Slice index 58. 240x240.
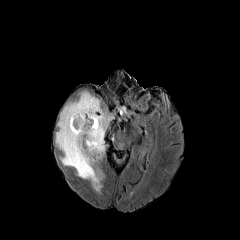
FLAIR MRI.
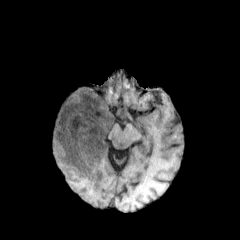
Same slice, T1-weighted magnetic resonance.
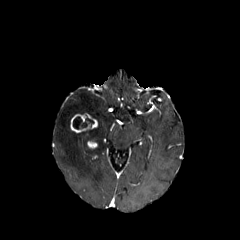
Post-contrast T1-weighted MR image.
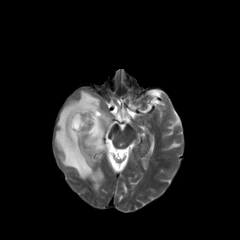
T2-weighted MR image.
enhancing tumor — box=[70, 113, 97, 132]; box=[87, 141, 97, 148]
peritumoral edema — box=[55, 91, 114, 193]
necrotic tumor core — box=[73, 116, 94, 129]